Brain. Slice 107 of 155. Axial view.
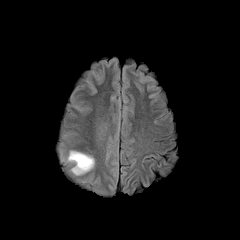
FLAIR MR image.
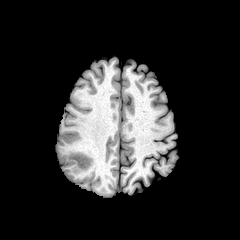
T1-weighted MR.
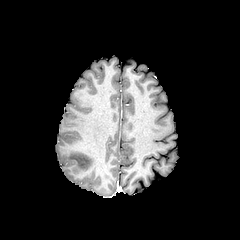
Post-contrast T1-weighted MRI.
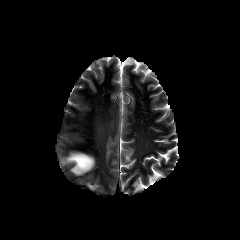
T2-weighted MR image.
peritumoral edema = [67,151,94,174]